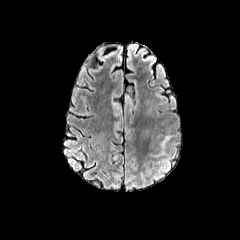
FLAIR MR.
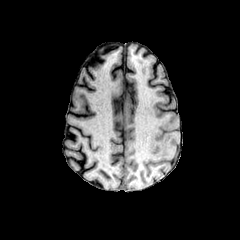
T1-weighted MR.
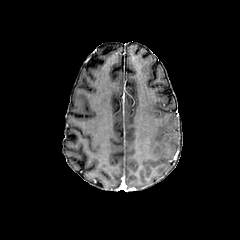
Post-contrast T1-weighted MR image of the same slice.
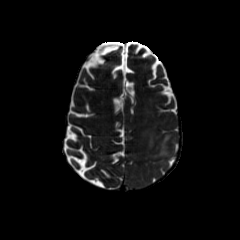
T2-weighted MR of the same slice.
Brain; Axial view
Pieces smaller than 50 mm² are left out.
peritumoral edema: bounding box x1=150, y1=134, x2=173, y2=156